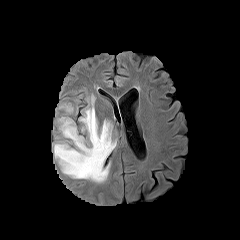
FLAIR MR.
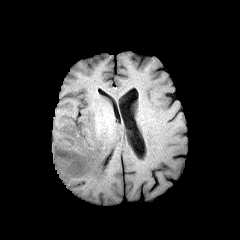
T1-weighted MRI.
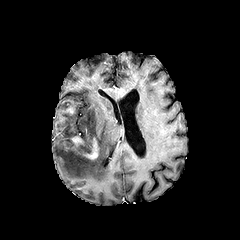
Post-contrast T1-weighted MR image.
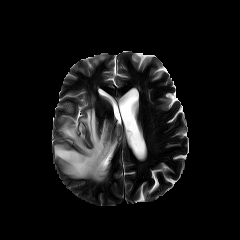
T2-weighted MR of the same slice.
Axial plane, Brain
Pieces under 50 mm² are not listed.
Findings:
- peritumoral edema: box=[54, 95, 116, 182]
- enhancing tumor: box=[71, 136, 82, 145]; box=[84, 138, 98, 159]